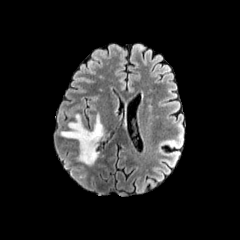
FLAIR MR image.
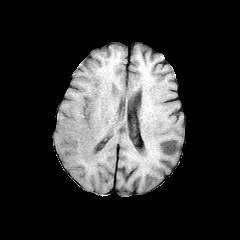
T1-weighted MR image.
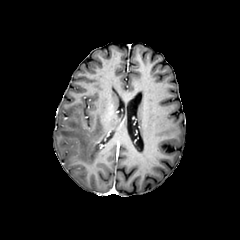
Post-contrast T1-weighted MRI of the same slice.
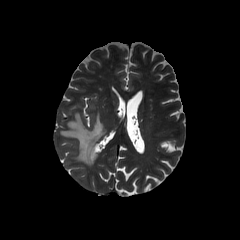
T2-weighted magnetic resonance of the same slice.
Head; Axial slice
peritumoral_edema:
  - [61,113,105,165]